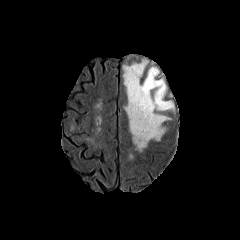
FLAIR MRI.
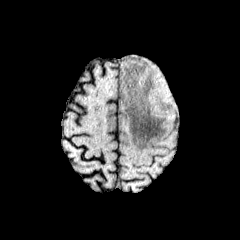
T1-weighted MR of the same slice.
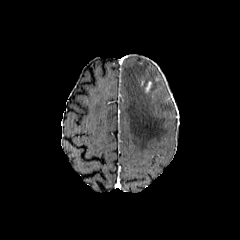
Post-contrast T1-weighted MRI of the same slice.
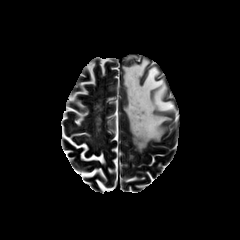
T2-weighted MR of the same slice.
Axial view; Head
Findings:
* enhancing tumor: l=145, t=81, r=151, b=92
* peritumoral edema: l=122, t=59, r=174, b=151